FLAIR MR.
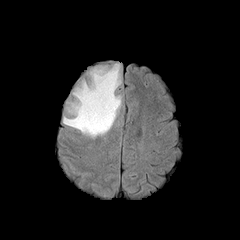
T1-weighted MR image.
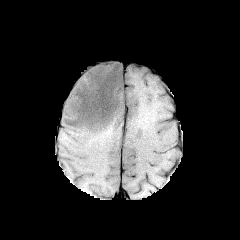
Post-contrast T1-weighted MRI.
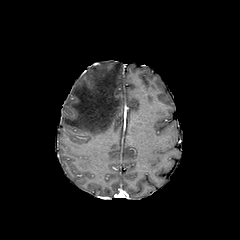
T2-weighted MR image.
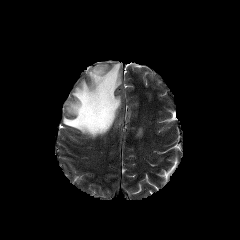
240x240
peritumoral edema: bounding box x1=63 y1=63 x2=121 y2=138